Head, 240x240, Image width 240 mm, 1.00 mm slice spacing
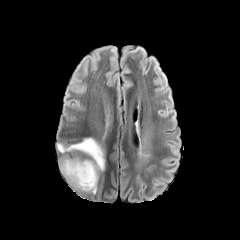
FLAIR MR image.
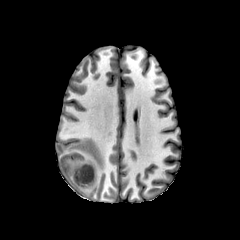
T1-weighted MR image.
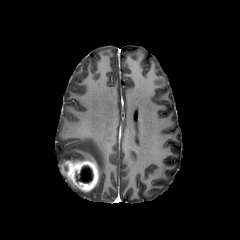
Post-contrast T1-weighted MR image of the same slice.
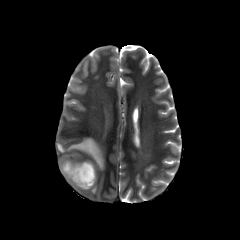
Same slice, T2-weighted MR image.
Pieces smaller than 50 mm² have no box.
peritumoral_edema:
  - {"x1": 56, "y1": 138, "x2": 104, "y2": 170}
enhancing_tumor:
  - {"x1": 59, "y1": 159, "x2": 98, "y2": 191}
necrotic_tumor_core:
  - {"x1": 75, "y1": 165, "x2": 93, "y2": 183}